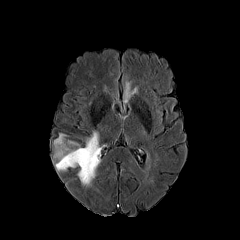
FLAIR MR image.
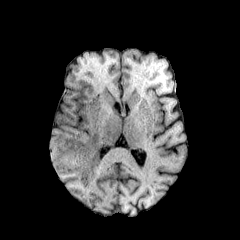
T1-weighted MR.
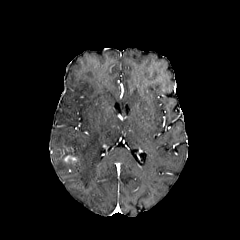
Same slice, post-contrast T1-weighted MR.
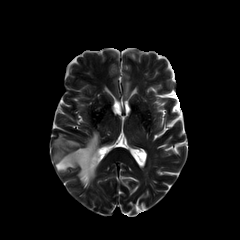
T2-weighted MRI of the same slice.
Brain
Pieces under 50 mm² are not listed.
* enhancing tumor: 64,155,77,162
* peritumoral edema: 52,131,100,185